Brain. Axial view.
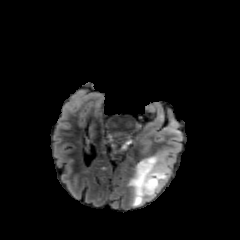
FLAIR MR image.
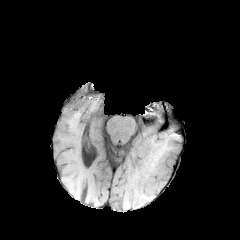
T1-weighted MRI of the same slice.
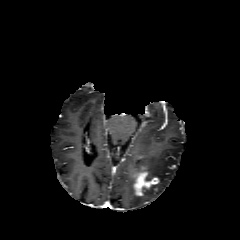
Post-contrast T1-weighted magnetic resonance.
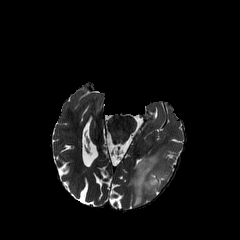
T2-weighted MR image of the same slice.
{"enhancing_tumor": ["region(134, 171, 159, 195)"], "peritumoral_edema": ["region(128, 151, 170, 206)"]}